FLAIR MR image.
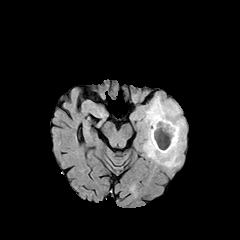
T1-weighted MRI.
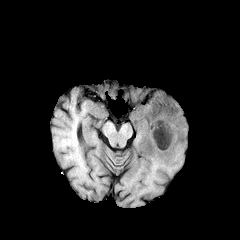
Post-contrast T1-weighted MRI.
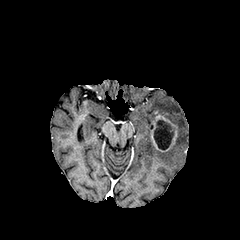
T2-weighted MR image.
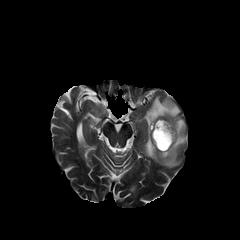
Head. Axial plane.
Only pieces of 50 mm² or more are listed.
The peritumoral edema is located at <bbox>142, 95, 185, 168</bbox>. The necrotic tumor core is bounded by <bbox>154, 120, 173, 149</bbox>. The largest enhancing tumor region is located at <bbox>151, 114, 177, 151</bbox>.